Slice index 81. Brain.
FLAIR MRI.
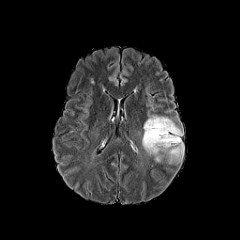
T1-weighted magnetic resonance.
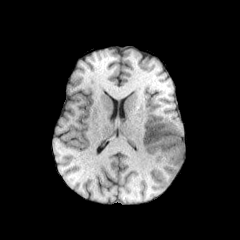
Post-contrast T1-weighted MRI.
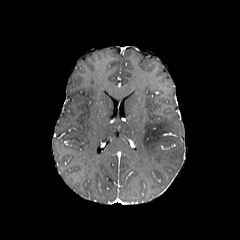
T2-weighted MR image.
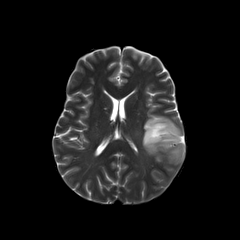
Findings:
* peritumoral edema: x1=142 y1=115 x2=184 y2=163